Image width 240 mm, 1.00 mm slice spacing | Head
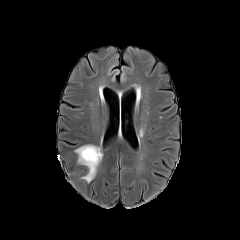
FLAIR MRI.
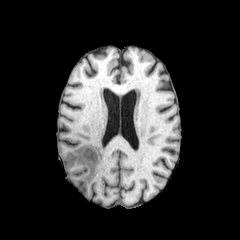
T1-weighted MR image.
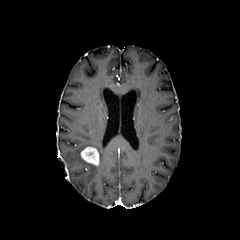
Post-contrast T1-weighted MR of the same slice.
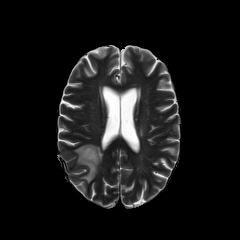
T2-weighted MRI of the same slice.
The enhancing tumor is at <box>81,147,99,165</box>. The peritumoral edema is at <box>74,144,102,183</box>.